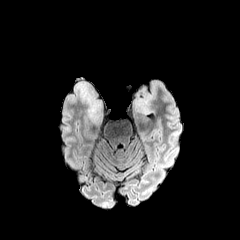
FLAIR MR.
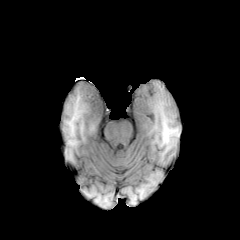
T1-weighted magnetic resonance of the same slice.
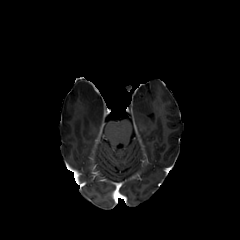
Post-contrast T1-weighted MR image of the same slice.
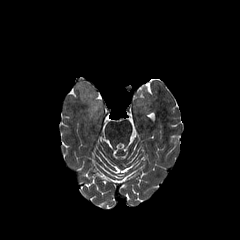
Same slice, T2-weighted MRI.
Image size 240x240 | Brain
peritumoral edema: bounding box box=[76, 83, 102, 122]; box=[135, 88, 155, 114]